FLAIR MR.
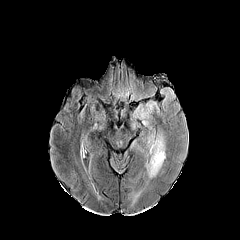
T1-weighted MRI.
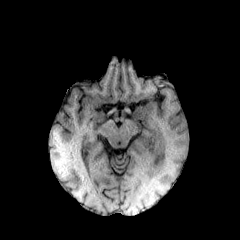
Post-contrast T1-weighted MR image.
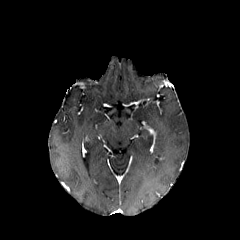
T2-weighted MR.
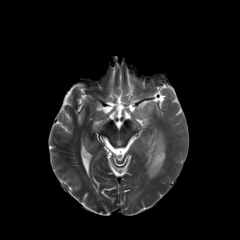
240x240 px. Axial view. Brain.
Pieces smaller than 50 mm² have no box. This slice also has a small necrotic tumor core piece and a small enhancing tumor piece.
<segmentation>
  <peritumoral_edema>region(134, 104, 153, 124); region(145, 135, 153, 148); region(145, 132, 165, 178)</peritumoral_edema>
</segmentation>